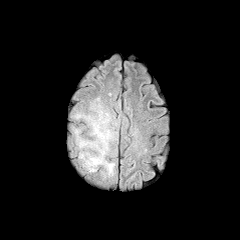
FLAIR MR image.
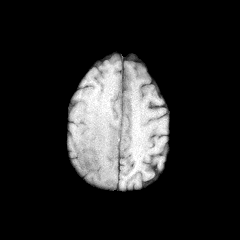
T1-weighted MR.
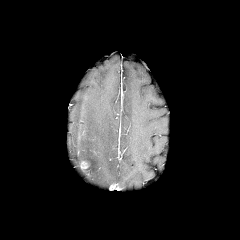
Post-contrast T1-weighted magnetic resonance.
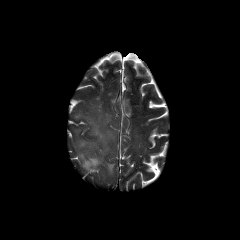
T2-weighted MR image of the same slice.
Brain, Axial view
Findings:
* enhancing tumor: [x1=80, y1=161, x2=89, y2=168]
* peritumoral edema: [x1=74, y1=98, x2=117, y2=178]